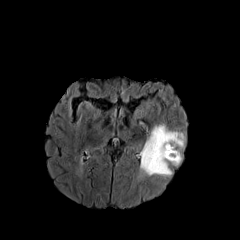
FLAIR MR.
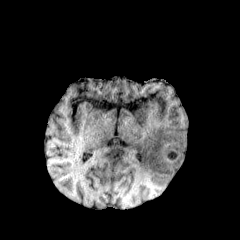
T1-weighted magnetic resonance.
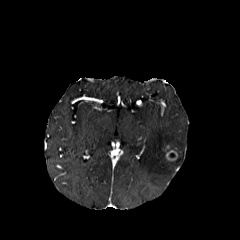
Same slice, post-contrast T1-weighted MR.
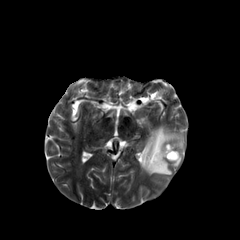
Same slice, T2-weighted MRI.
240x240
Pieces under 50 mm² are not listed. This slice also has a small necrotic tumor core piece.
enhancing tumor: bounding box box=[165, 150, 178, 161]
peritumoral edema: bounding box box=[140, 124, 185, 176]